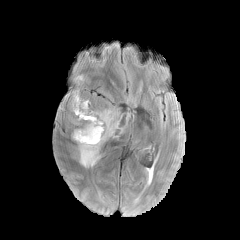
FLAIR MRI.
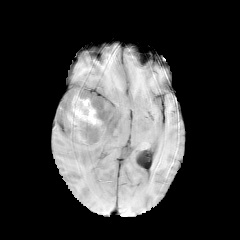
T1-weighted MRI of the same slice.
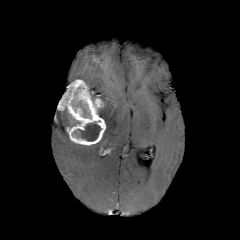
Post-contrast T1-weighted MR of the same slice.
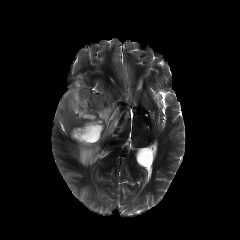
T2-weighted magnetic resonance.
Image size 240x240
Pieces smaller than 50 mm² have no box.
The 2 largest peritumoral edema regions are bounded by box(77, 107, 118, 167); box(68, 113, 79, 125). The 2 largest necrotic tumor core regions appear at box(72, 92, 90, 117); box(76, 122, 100, 141). The enhancing tumor is located at box(58, 79, 105, 145).